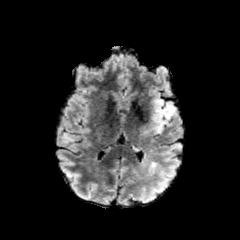
FLAIR magnetic resonance.
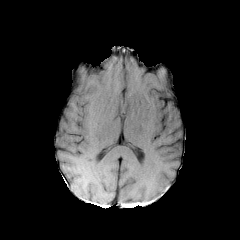
T1-weighted MR.
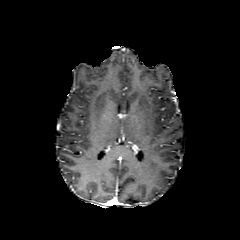
Same slice, post-contrast T1-weighted MR image.
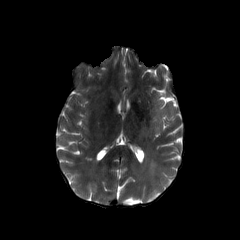
Same slice, T2-weighted MRI.
Axial plane, Brain
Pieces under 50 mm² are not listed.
peritumoral edema at <bbox>155, 99, 175, 132</bbox>